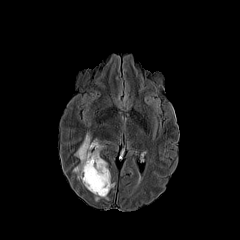
FLAIR magnetic resonance.
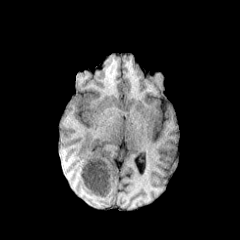
Same slice, T1-weighted MR image.
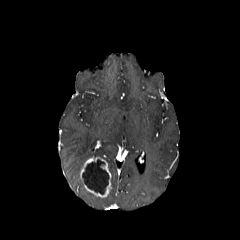
Post-contrast T1-weighted magnetic resonance of the same slice.
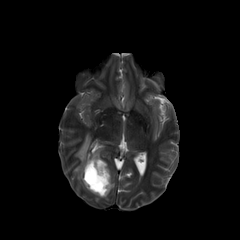
T2-weighted MR.
Axial view
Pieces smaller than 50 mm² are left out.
The enhancing tumor lies within [80, 156, 111, 197]. The largest peritumoral edema region is at [74, 133, 101, 179]. The necrotic tumor core lies within [82, 159, 108, 194].